Axial view
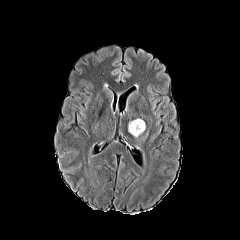
FLAIR MRI.
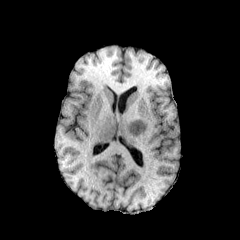
T1-weighted MR image.
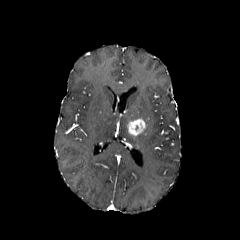
Post-contrast T1-weighted MR.
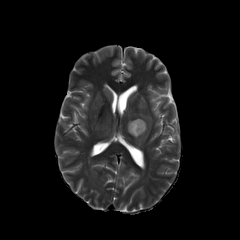
Same slice, T2-weighted MR image.
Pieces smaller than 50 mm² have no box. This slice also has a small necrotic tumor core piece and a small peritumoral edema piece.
enhancing tumor — rect(127, 119, 145, 135)